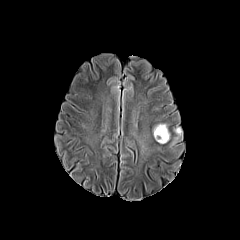
FLAIR MR.
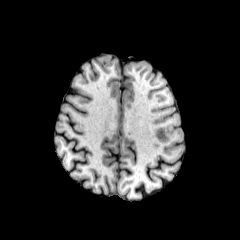
Same slice, T1-weighted MR.
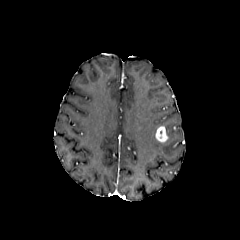
Post-contrast T1-weighted MR image.
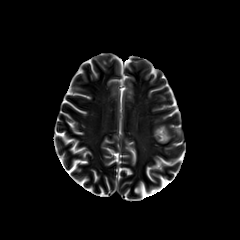
T2-weighted MR image of the same slice.
Axial plane, Brain
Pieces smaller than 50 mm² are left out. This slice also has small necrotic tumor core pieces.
The enhancing tumor lies within (155, 126, 168, 143). The 2 largest peritumoral edema regions are bounded by (175, 128, 182, 140), (153, 123, 167, 137).